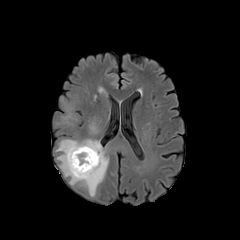
FLAIR MR.
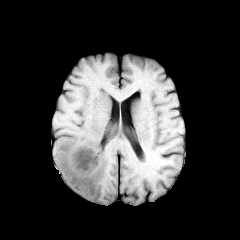
Same slice, T1-weighted magnetic resonance.
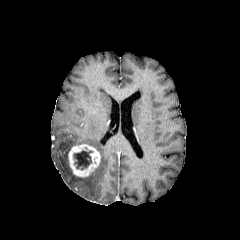
Same slice, post-contrast T1-weighted magnetic resonance.
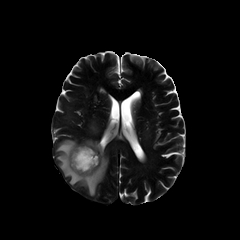
T2-weighted MR.
Brain
peritumoral edema: 89, 123, 96, 133; 56, 139, 108, 196
enhancing tumor: 68, 144, 100, 177
necrotic tumor core: 73, 150, 92, 169